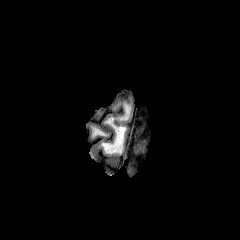
FLAIR MRI.
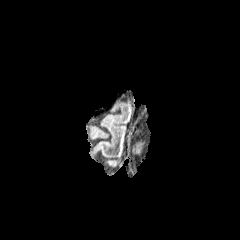
T1-weighted MR image of the same slice.
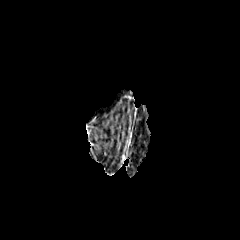
Post-contrast T1-weighted magnetic resonance.
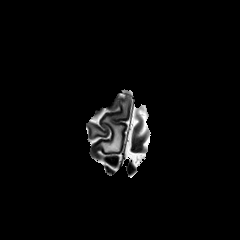
T2-weighted MR image.
Axial plane
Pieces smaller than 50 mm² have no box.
The 2 largest peritumoral edema regions are located at region(93, 128, 104, 135); region(101, 118, 125, 154).